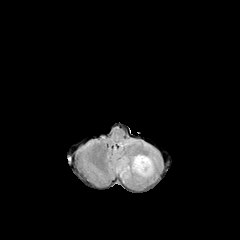
FLAIR MRI.
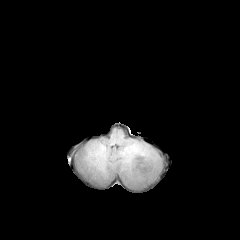
T1-weighted MR of the same slice.
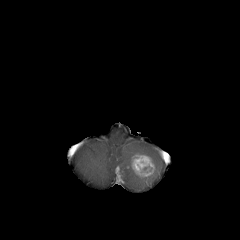
Post-contrast T1-weighted MR.
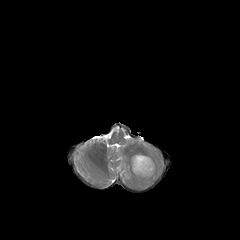
T2-weighted MR image.
Axial view; Head
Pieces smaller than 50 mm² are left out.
peritumoral edema — (x1=120, y1=140, x2=134, y2=148), (x1=110, y1=143, x2=159, y2=182)
enhancing tumor — (x1=131, y1=154, x2=155, y2=177)